FLAIR MRI.
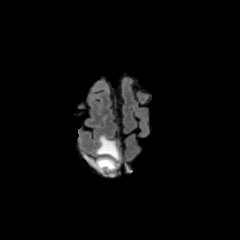
T1-weighted MRI.
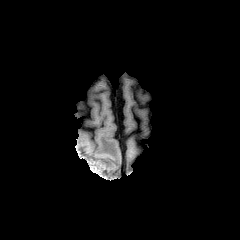
Post-contrast T1-weighted MR.
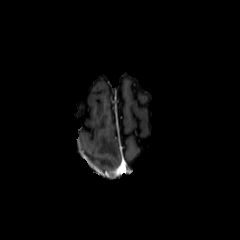
T2-weighted magnetic resonance.
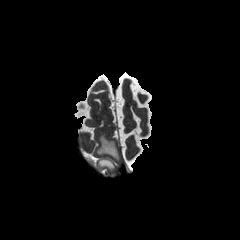
Head
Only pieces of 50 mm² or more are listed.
peritumoral edema — l=95, t=158, r=115, b=170; l=96, t=135, r=119, b=160